Head, Slice 74 of 155, 240x240 px
FLAIR MR image.
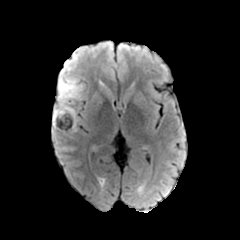
T1-weighted MRI.
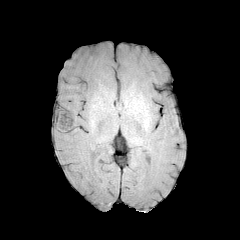
Post-contrast T1-weighted MR image.
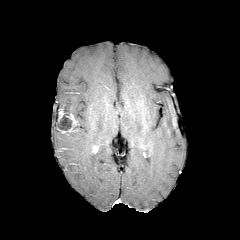
T2-weighted MR.
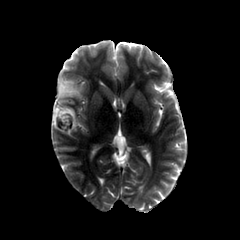
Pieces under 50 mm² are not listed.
enhancing_tumor:
  - [58,108,67,121]
  - [57,113,78,134]
necrotic_tumor_core:
  - [55,114,71,130]
peritumoral_edema:
  - [52,81,84,136]